Head
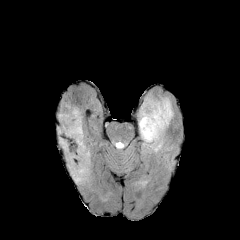
FLAIR MR.
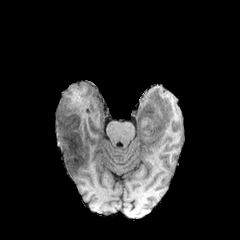
T1-weighted MRI.
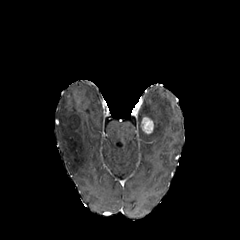
Post-contrast T1-weighted MRI.
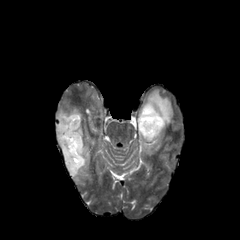
T2-weighted MR image of the same slice.
The enhancing tumor is bounded by 140,116,154,133. 3 peritumoral edema regions appear at 135,180,147,187; 56,101,92,186; 138,93,173,151.